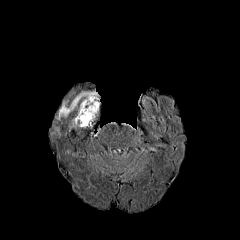
FLAIR MR.
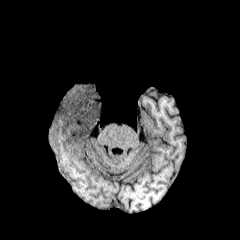
T1-weighted magnetic resonance of the same slice.
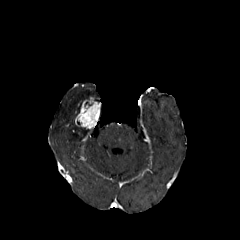
Post-contrast T1-weighted MR image of the same slice.
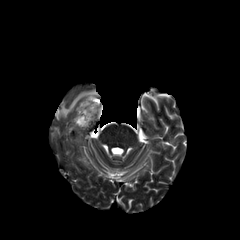
T2-weighted MRI.
Brain.
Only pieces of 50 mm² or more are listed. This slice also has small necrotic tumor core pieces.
enhancing tumor at box=[75, 97, 100, 128]
peritumoral edema at box=[57, 91, 98, 119]